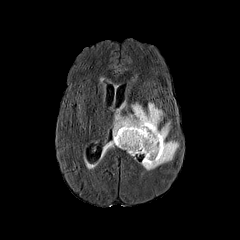
FLAIR MR image.
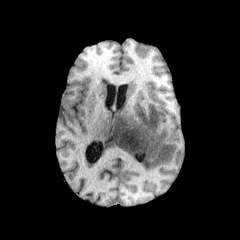
T1-weighted MRI.
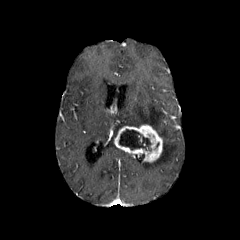
Same slice, post-contrast T1-weighted magnetic resonance.
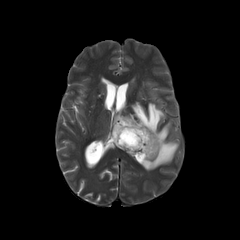
T2-weighted MR.
Brain
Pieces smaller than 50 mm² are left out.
peritumoral edema at region(105, 102, 178, 170)
necrotic tumor core at region(119, 129, 150, 150)
enhancing tumor at region(114, 124, 162, 162)